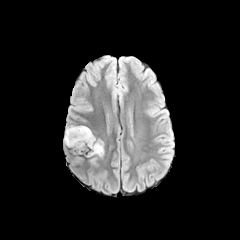
FLAIR MR.
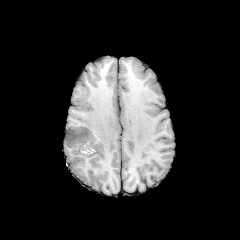
T1-weighted MRI of the same slice.
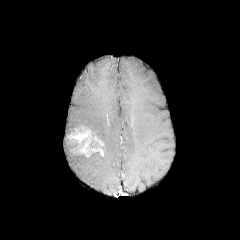
Same slice, post-contrast T1-weighted MR image.
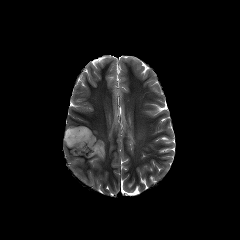
Same slice, T2-weighted magnetic resonance.
Axial slice, Head
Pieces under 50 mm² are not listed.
The largest peritumoral edema region lies within <bbox>64, 126, 80, 152</bbox>. The largest enhancing tumor region is located at <bbox>66, 126, 104, 157</bbox>.